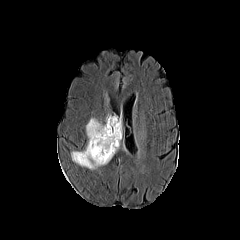
FLAIR magnetic resonance.
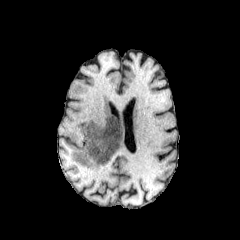
T1-weighted MR of the same slice.
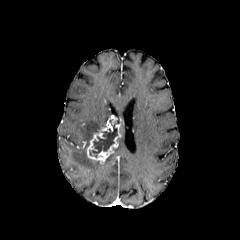
Post-contrast T1-weighted MR image.
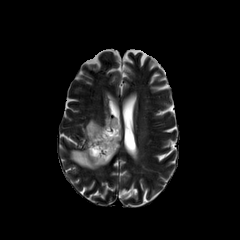
T2-weighted MRI.
Axial plane. Head.
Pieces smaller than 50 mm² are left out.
necrotic_tumor_core:
  - region(89, 120, 119, 157)
enhancing_tumor:
  - region(86, 116, 121, 163)
peritumoral_edema:
  - region(86, 118, 104, 146)
  - region(71, 137, 121, 169)